240x240 | Slice index 99 | Axial slice
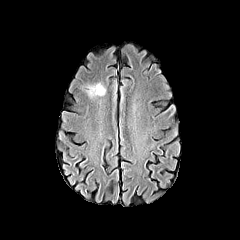
FLAIR MRI.
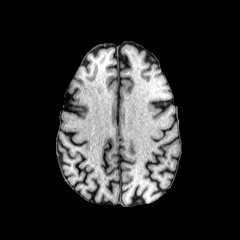
T1-weighted MR.
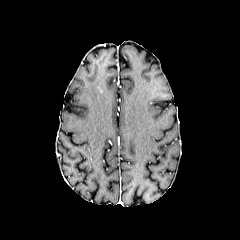
Post-contrast T1-weighted magnetic resonance.
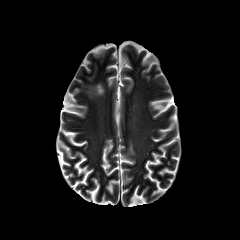
Same slice, T2-weighted MR.
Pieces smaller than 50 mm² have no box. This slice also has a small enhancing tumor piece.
peritumoral edema = [87,83,105,96]